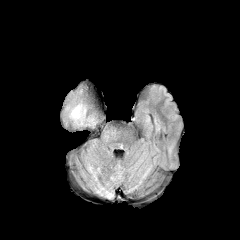
FLAIR magnetic resonance.
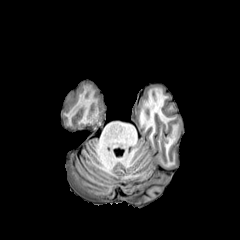
T1-weighted MR.
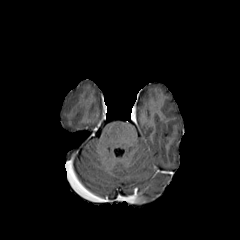
Post-contrast T1-weighted MRI.
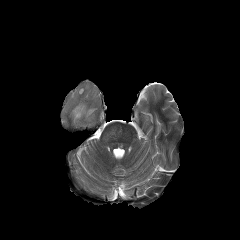
T2-weighted MR.
Brain
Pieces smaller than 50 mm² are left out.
peritumoral edema — 70:103:86:123